FLAIR MR image.
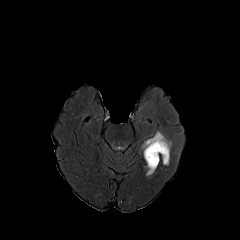
T1-weighted MRI.
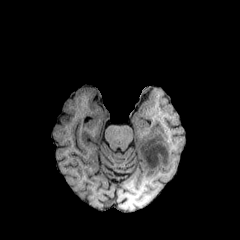
Post-contrast T1-weighted magnetic resonance.
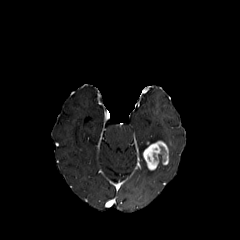
T2-weighted magnetic resonance.
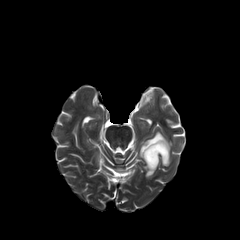
Head
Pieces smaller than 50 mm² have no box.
enhancing tumor: 143:140:168:170
peritumoral edema: 141:131:172:161, 145:166:154:176